Slice 99/155; Axial view; Brain; Image width 240 mm
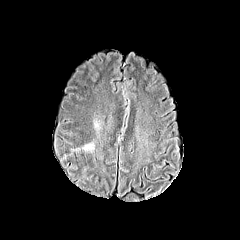
FLAIR MR image.
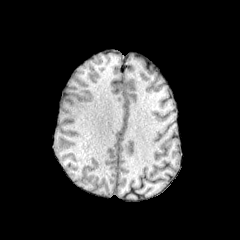
T1-weighted MR.
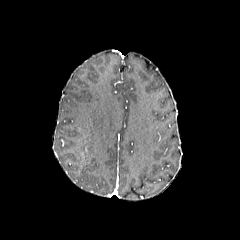
Post-contrast T1-weighted MR image.
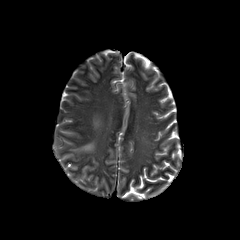
T2-weighted MR.
{
  "peritumoral_edema": [
    "x1=83, y1=144, x2=93, y2=150"
  ]
}